FLAIR MR.
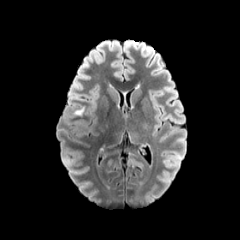
T1-weighted MRI.
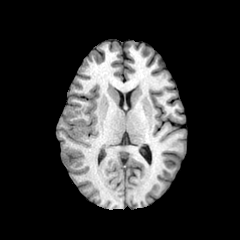
Post-contrast T1-weighted MR.
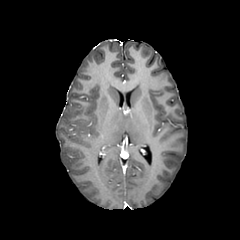
T2-weighted MR.
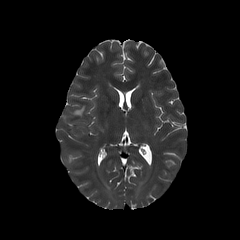
The peritumoral edema appears at [72,107,84,115].